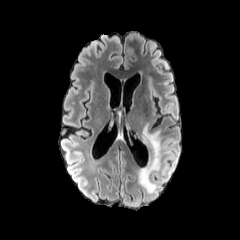
FLAIR magnetic resonance.
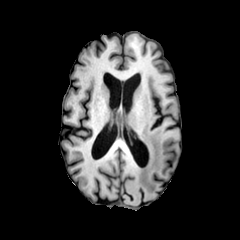
T1-weighted magnetic resonance of the same slice.
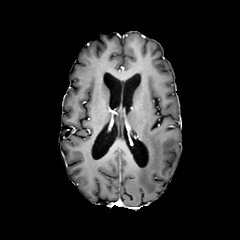
Post-contrast T1-weighted magnetic resonance of the same slice.
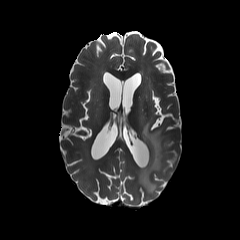
Same slice, T2-weighted magnetic resonance.
240x240 px. Axial view.
The peritumoral edema is at (139, 124, 161, 192).